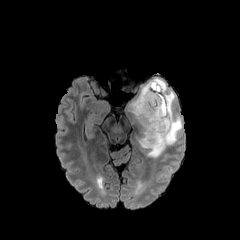
FLAIR MRI.
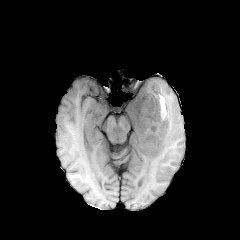
T1-weighted MRI.
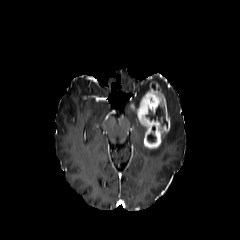
Post-contrast T1-weighted MR image of the same slice.
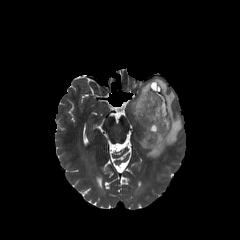
T2-weighted MR of the same slice.
Brain | Axial view
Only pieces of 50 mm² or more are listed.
necrotic tumor core — l=146, t=104, r=167, b=127; l=147, t=133, r=156, b=141
enhancing tumor — l=130, t=81, r=170, b=149
peritumoral edema — l=132, t=78, r=182, b=156